Image width 240 mm; Head
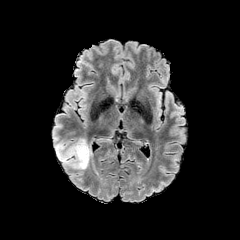
FLAIR magnetic resonance.
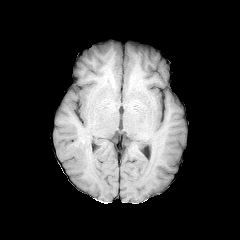
T1-weighted MRI.
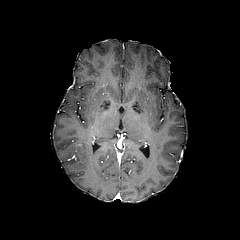
Post-contrast T1-weighted MR.
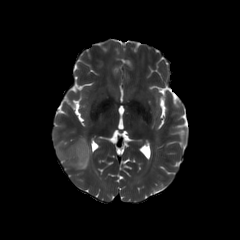
T2-weighted magnetic resonance of the same slice.
peritumoral edema at <box>57,138,91,169</box>